Slice 79/155; Axial plane; 240x240
FLAIR MRI.
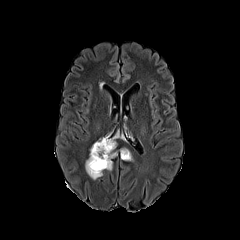
T1-weighted MR image.
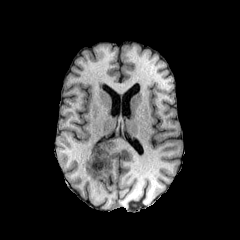
Post-contrast T1-weighted MR image.
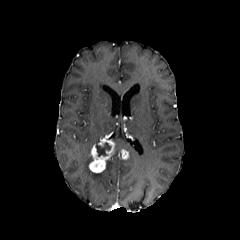
T2-weighted MRI.
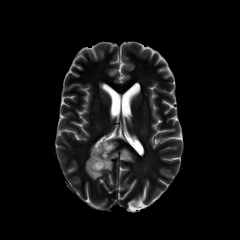
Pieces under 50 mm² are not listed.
The 2 largest peritumoral edema regions are bounded by bbox(105, 152, 117, 170); bbox(85, 149, 103, 179). The necrotic tumor core is bounded by bbox(96, 143, 110, 156). 2 enhancing tumor regions appear at bbox(121, 149, 129, 159); bbox(89, 137, 114, 173).